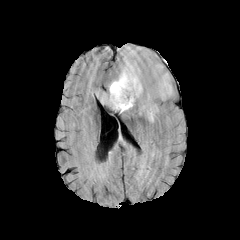
FLAIR magnetic resonance.
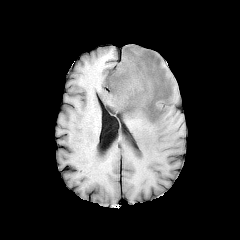
T1-weighted MRI.
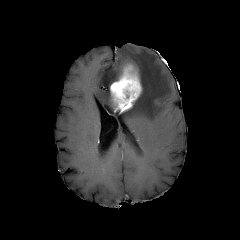
Post-contrast T1-weighted MR.
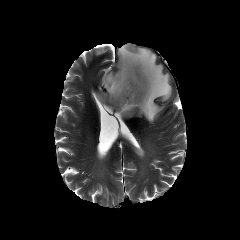
Same slice, T2-weighted MR.
Image size 240x240
• peritumoral edema: [x1=98, y1=45, x2=173, y2=123]
• enhancing tumor: [x1=110, y1=62, x2=141, y2=113]